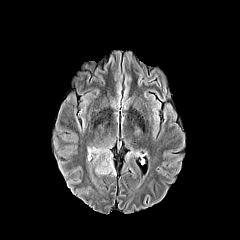
FLAIR MR image.
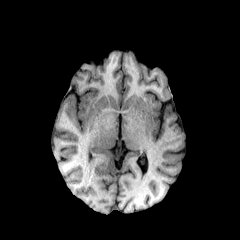
T1-weighted magnetic resonance.
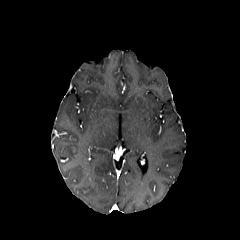
Post-contrast T1-weighted MRI.
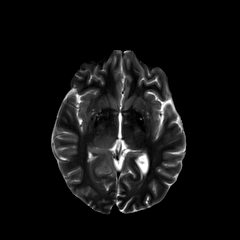
T2-weighted magnetic resonance.
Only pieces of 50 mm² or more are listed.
peritumoral edema = 95 158 115 174